Image width 240 mm. 240x240 px. Slice index 111. Axial plane.
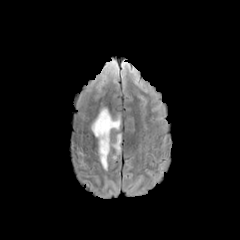
FLAIR MR image.
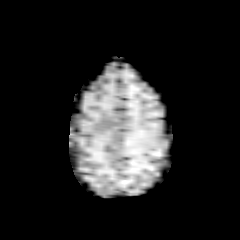
T1-weighted magnetic resonance.
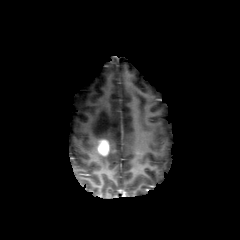
Post-contrast T1-weighted magnetic resonance.
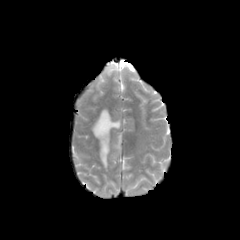
T2-weighted magnetic resonance.
The enhancing tumor is bounded by 98:139:110:155. 3 peritumoral edema regions appear at 92:108:120:144, 100:154:108:169, 112:134:121:153.